Head. Image covers 240 mm x 240 mm. 240x240 px.
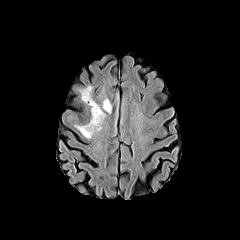
FLAIR MRI.
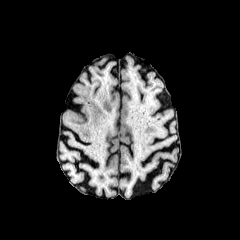
T1-weighted MR image of the same slice.
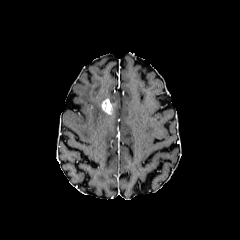
Same slice, post-contrast T1-weighted magnetic resonance.
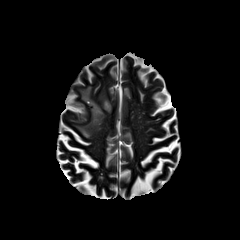
T2-weighted MR image.
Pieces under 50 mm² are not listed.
peritumoral edema: x1=75 y1=86 x2=105 y2=138
enhancing tumor: x1=101 y1=99 x2=112 y2=113